FLAIR magnetic resonance.
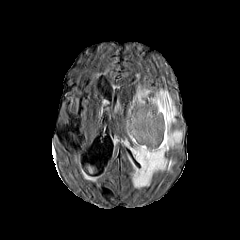
T1-weighted MR image.
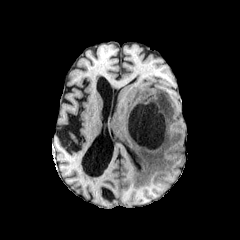
Post-contrast T1-weighted MRI.
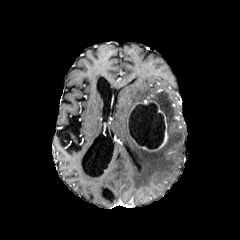
T2-weighted MR image.
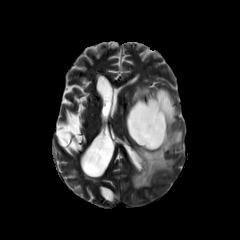
240x240. Head.
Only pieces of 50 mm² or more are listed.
{
  "peritumoral_edema": [
    "x1=124, y1=90, x2=182, y2=188",
    "x1=128, y1=86, x2=150, y2=117"
  ],
  "necrotic_tumor_core": [
    "x1=128, y1=102, x2=165, y2=149"
  ],
  "enhancing_tumor": [
    "x1=131, y1=100, x2=167, y2=151"
  ]
}